Image width 240 mm. Axial plane. Head. Slice 88 of 155.
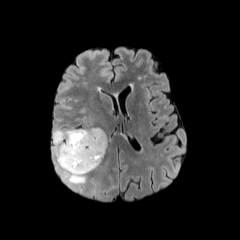
FLAIR magnetic resonance.
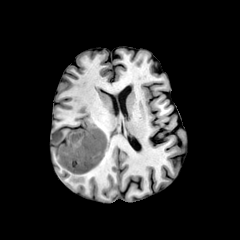
T1-weighted magnetic resonance.
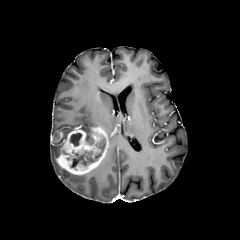
Post-contrast T1-weighted MR image.
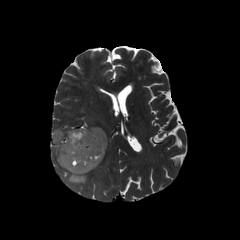
T2-weighted MR image of the same slice.
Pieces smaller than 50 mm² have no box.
peritumoral edema: [55, 161, 86, 184], [52, 128, 74, 158]
enhancing tumor: [54, 126, 108, 174]
necrotic tumor core: [86, 133, 93, 144], [70, 133, 81, 146], [71, 139, 105, 167]